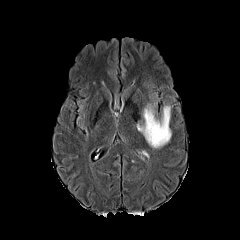
FLAIR MR image.
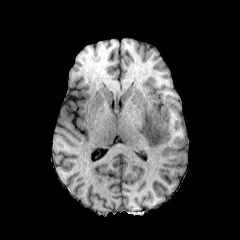
T1-weighted MR.
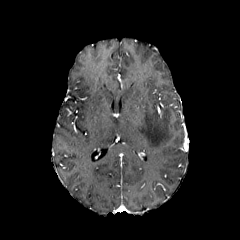
Post-contrast T1-weighted MRI of the same slice.
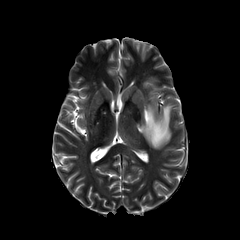
T2-weighted MR of the same slice.
Brain.
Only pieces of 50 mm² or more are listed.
peritumoral edema: box(137, 93, 173, 148)